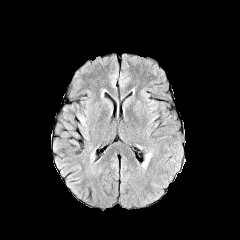
FLAIR magnetic resonance.
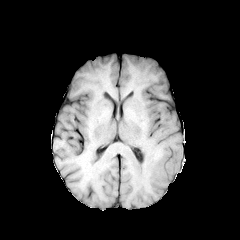
T1-weighted magnetic resonance of the same slice.
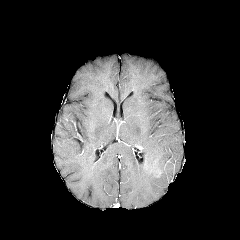
Post-contrast T1-weighted MR image.
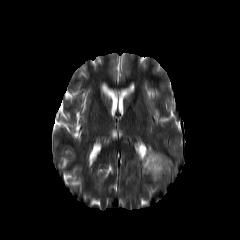
T2-weighted magnetic resonance.
240x240, Axial view, Head
{
  "peritumoral_edema": [
    "<box>142,148,160,175</box>"
  ]
}